240x240 px | Slice index 70 | Axial plane | Brain
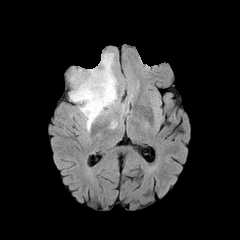
FLAIR MRI.
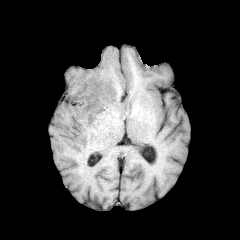
T1-weighted MRI.
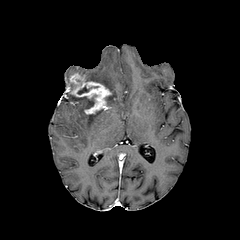
Post-contrast T1-weighted MR of the same slice.
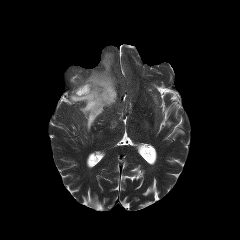
T2-weighted MR image.
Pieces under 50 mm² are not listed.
The enhancing tumor appears at 70,73,111,114. The 2 largest peritumoral edema regions are located at 85,53,117,108; 70,92,104,130. The largest necrotic tumor core region lies within 77,86,89,94.